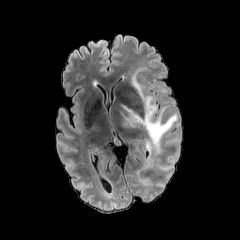
FLAIR MRI.
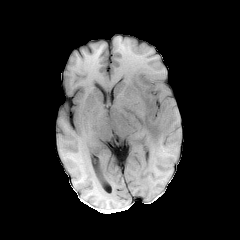
Same slice, T1-weighted MR.
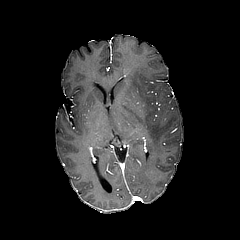
Post-contrast T1-weighted magnetic resonance.
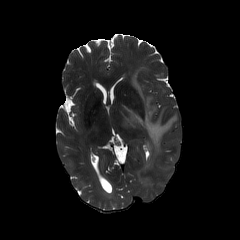
T2-weighted MR image.
240x240 px. Axial view. Brain.
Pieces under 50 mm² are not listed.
Segmented structures:
* peritumoral edema: 121,67,177,155